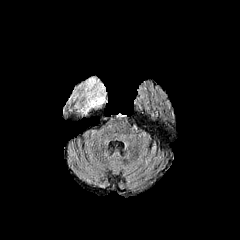
FLAIR MRI.
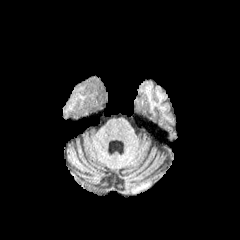
Same slice, T1-weighted magnetic resonance.
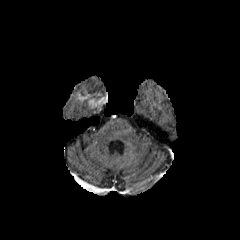
Post-contrast T1-weighted MR of the same slice.
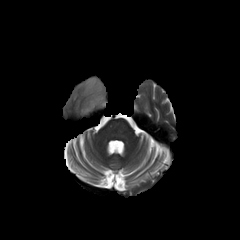
T2-weighted magnetic resonance.
Image size 240x240, Axial view
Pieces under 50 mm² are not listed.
The 2 largest peritumoral edema regions are bounded by (81,77,106,99), (82,99,92,113). The largest enhancing tumor region is located at (78,94,107,107).